FLAIR MRI.
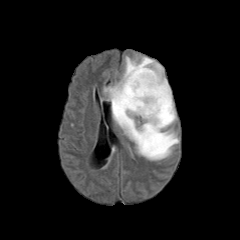
T1-weighted MR image.
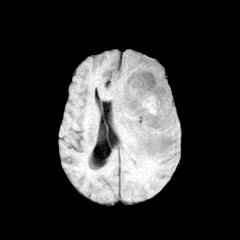
Post-contrast T1-weighted MR image.
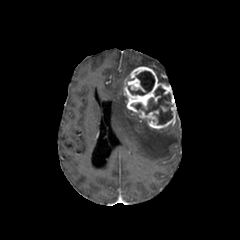
T2-weighted MRI.
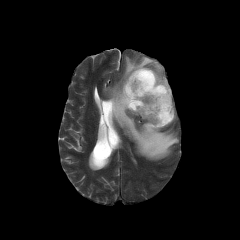
Head. Axial slice.
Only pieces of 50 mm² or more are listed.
Annotated regions:
* peritumoral edema: x1=103, y1=56, x2=178, y2=160
* enhancing tumor: x1=123, y1=66, x2=176, y2=129
* necrotic tumor core: x1=134, y1=86, x2=172, y2=124; x1=128, y1=71, x2=154, y2=95